Axial view; Head
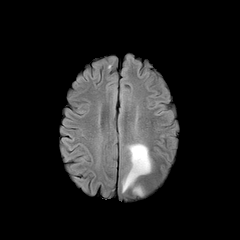
FLAIR magnetic resonance.
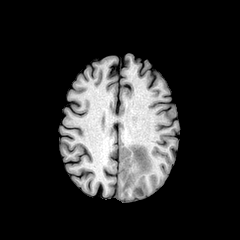
Same slice, T1-weighted magnetic resonance.
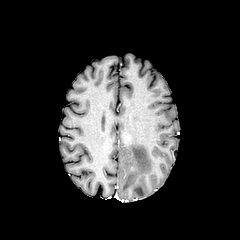
Same slice, post-contrast T1-weighted magnetic resonance.
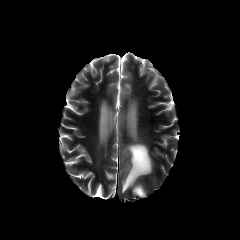
T2-weighted MRI.
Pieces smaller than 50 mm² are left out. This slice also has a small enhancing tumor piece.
Findings:
• peritumoral edema: [133, 186, 144, 196], [122, 143, 151, 192]